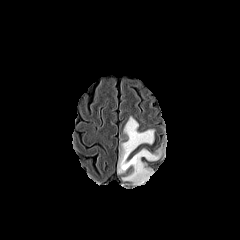
FLAIR MR.
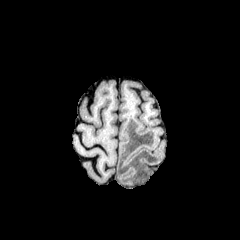
T1-weighted MR.
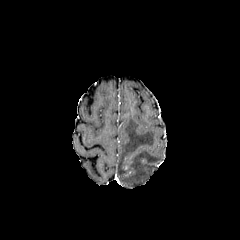
Post-contrast T1-weighted MR.
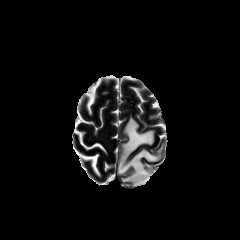
T2-weighted MR image.
Axial slice | Head
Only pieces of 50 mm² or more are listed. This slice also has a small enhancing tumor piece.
{"peritumoral_edema": ["(x1=117, y1=116, x2=162, y2=185)"]}